Head | Slice 105 of 155 | Image width 240 mm, 1.00 mm slice spacing
FLAIR MR.
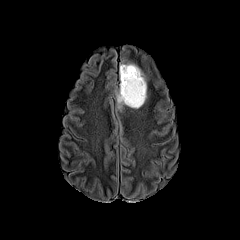
T1-weighted MRI.
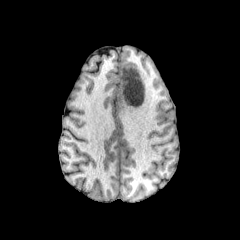
Post-contrast T1-weighted MR image.
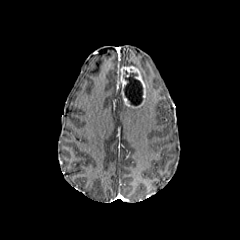
T2-weighted magnetic resonance.
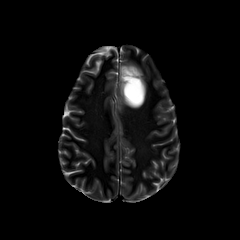
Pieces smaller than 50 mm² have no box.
{
  "enhancing_tumor": [
    "x1=120 y1=66 x2=145 y2=107"
  ],
  "necrotic_tumor_core": [
    "x1=124 y1=73 x2=142 y2=105"
  ],
  "peritumoral_edema": [
    "x1=120 y1=63 x2=146 y2=101",
    "x1=117 y1=82 x2=124 y2=108"
  ]
}